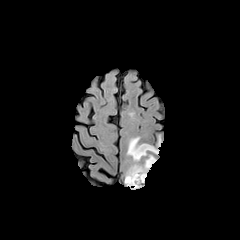
FLAIR MR image.
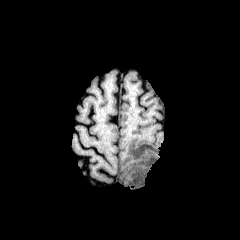
T1-weighted magnetic resonance.
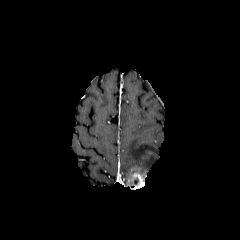
Same slice, post-contrast T1-weighted magnetic resonance.
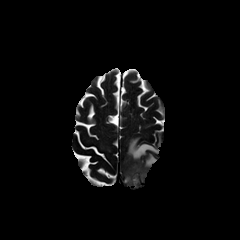
T2-weighted MR of the same slice.
Axial slice, Head
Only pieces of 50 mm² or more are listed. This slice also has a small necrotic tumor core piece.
<segmentation>
  <enhancing_tumor>x1=126 y1=166 x2=146 y2=189</enhancing_tumor>
  <peritumoral_edema>x1=127 y1=137 x2=159 y2=161, x1=132 y1=155 x2=156 y2=171</peritumoral_edema>
</segmentation>